FLAIR MR image.
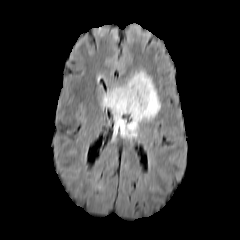
T1-weighted MR.
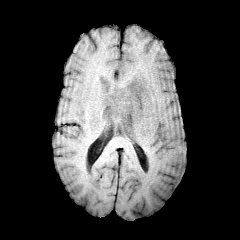
Post-contrast T1-weighted magnetic resonance.
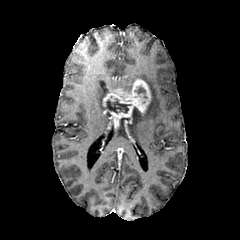
T2-weighted MR.
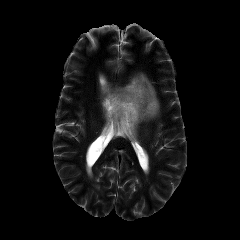
Axial slice
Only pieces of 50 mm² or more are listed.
The 2 largest peritumoral edema regions appear at [119,118,125,135], [108,71,160,137]. The largest necrotic tumor core region is located at [106,99,130,113]. The enhancing tumor is bounded by [103,78,151,126].